FLAIR MRI.
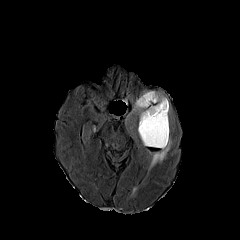
T1-weighted MRI.
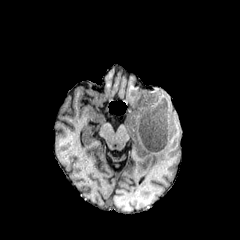
Post-contrast T1-weighted MR image.
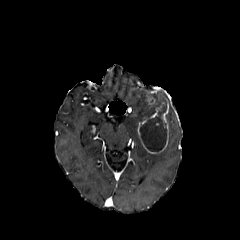
T2-weighted MRI.
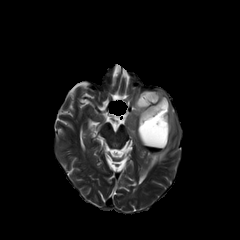
240x240 px | Brain
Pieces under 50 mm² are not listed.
The 2 largest enhancing tumor regions are located at <bbox>137, 100, 168, 151</bbox>, <bbox>146, 94, 155, 104</bbox>. The 2 largest peritumoral edema regions are bounded by <bbox>133, 92, 167, 121</bbox>, <bbox>149, 138, 171, 169</bbox>. The largest necrotic tumor core region is located at <bbox>140, 103, 166, 152</bbox>.